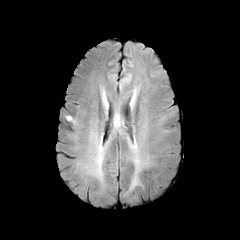
FLAIR magnetic resonance.
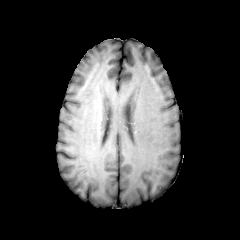
T1-weighted magnetic resonance of the same slice.
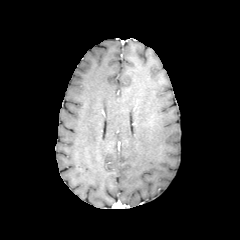
Same slice, post-contrast T1-weighted MRI.
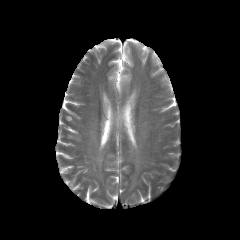
T2-weighted magnetic resonance.
Brain
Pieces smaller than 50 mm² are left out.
peritumoral_edema:
  - l=130, t=176, r=138, b=188
  - l=135, t=159, r=140, b=172